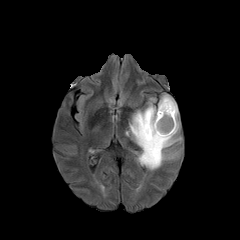
FLAIR MR image.
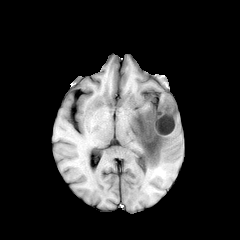
Same slice, T1-weighted magnetic resonance.
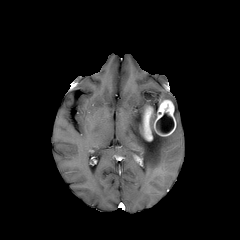
Post-contrast T1-weighted magnetic resonance of the same slice.
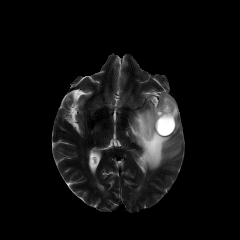
T2-weighted MR image of the same slice.
240x240
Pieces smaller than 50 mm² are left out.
* peritumoral edema: <box>148,97,157,111</box>, <box>125,93,181,170</box>
* enhancing tumor: <box>140,99,176,141</box>
* necrotic tumor core: <box>156,113,174,133</box>